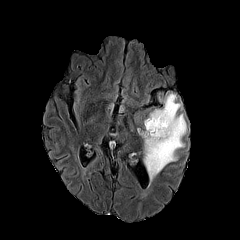
FLAIR MR.
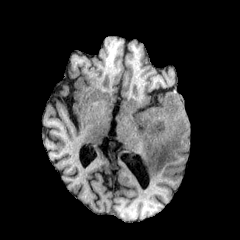
T1-weighted MR image of the same slice.
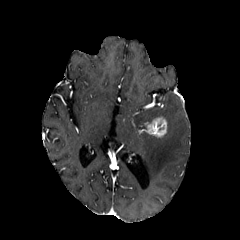
Post-contrast T1-weighted magnetic resonance.
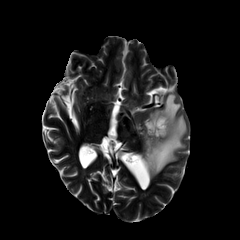
Same slice, T2-weighted MR image.
Axial plane; Head
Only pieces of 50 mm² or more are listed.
peritumoral edema — x1=141, y1=93, x2=187, y2=181
enhancing tumor — x1=145, y1=116, x2=167, y2=137